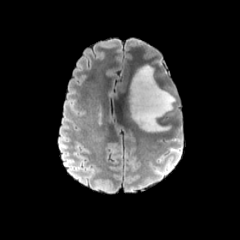
FLAIR MR.
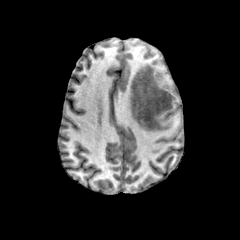
T1-weighted MR.
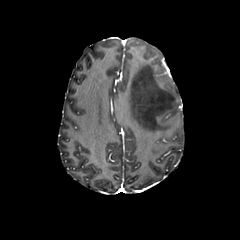
Same slice, post-contrast T1-weighted MR.
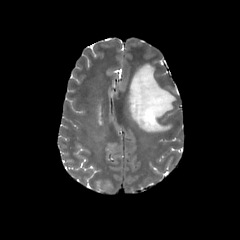
T2-weighted MRI.
Axial slice
The peritumoral edema is located at [x1=129, y1=64, x2=175, y2=132].